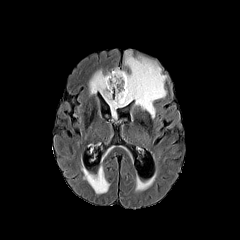
FLAIR magnetic resonance.
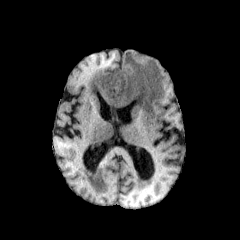
T1-weighted MR image.
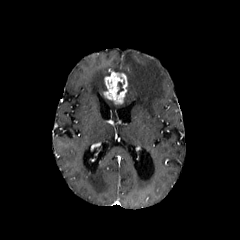
Post-contrast T1-weighted magnetic resonance of the same slice.
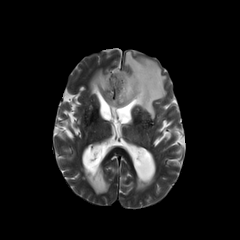
Same slice, T2-weighted MR.
Brain | 240x240 | Axial slice
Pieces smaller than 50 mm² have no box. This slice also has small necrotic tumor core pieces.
Annotated regions:
• peritumoral edema: [89, 70, 109, 96], [83, 166, 109, 193], [104, 51, 166, 118]
• enhancing tumor: [103, 71, 127, 104]